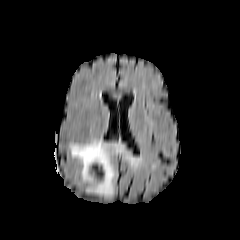
FLAIR MR.
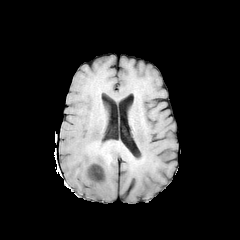
T1-weighted MR of the same slice.
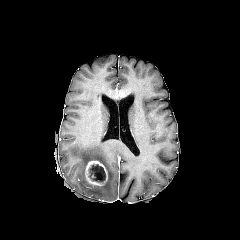
Post-contrast T1-weighted MR image.
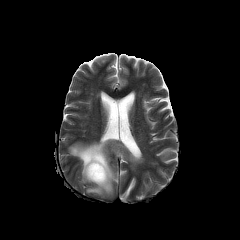
T2-weighted MR image.
Image size 240x240
necrotic tumor core: bbox(89, 164, 105, 182) | enhancing tumor: bbox(85, 160, 107, 185) | peritumoral edema: bbox(69, 139, 144, 196)